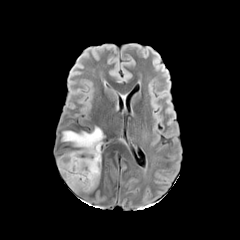
FLAIR MR.
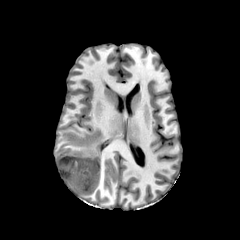
T1-weighted MRI of the same slice.
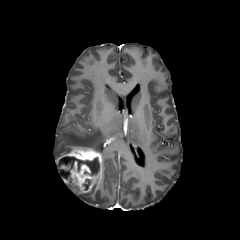
Post-contrast T1-weighted magnetic resonance.
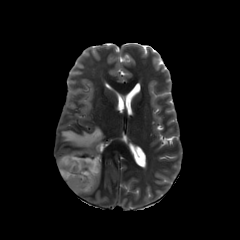
T2-weighted magnetic resonance.
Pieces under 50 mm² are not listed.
{"enhancing_tumor": ["x1=56, y1=147, x2=101, y2=192"], "necrotic_tumor_core": ["x1=57, y1=156, x2=99, y2=179"], "peritumoral_edema": ["x1=62, y1=127, x2=103, y2=153"]}